FLAIR MR image.
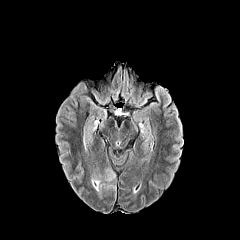
T1-weighted magnetic resonance.
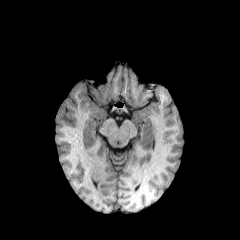
Post-contrast T1-weighted MR image.
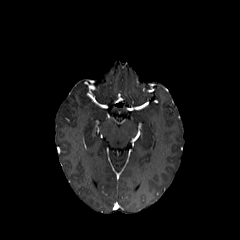
T2-weighted magnetic resonance.
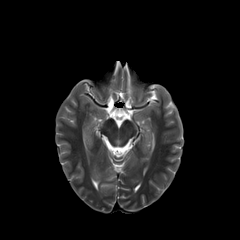
Axial slice
Segmented structures:
* peritumoral edema: l=91, t=174, r=115, b=191; l=104, t=170, r=115, b=181